Image covers 240 mm x 240 mm
FLAIR MR.
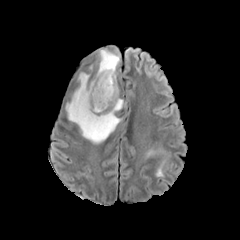
T1-weighted MR.
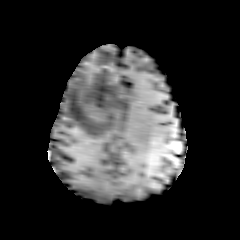
Post-contrast T1-weighted MR image.
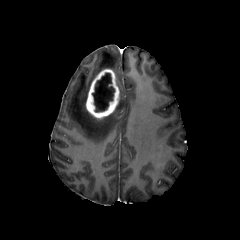
T2-weighted MR.
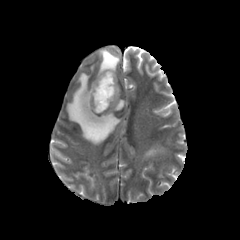
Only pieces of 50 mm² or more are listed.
{"peritumoral_edema": [{"x1": 97, "y1": 48, "x2": 119, "y2": 81}, {"x1": 67, "y1": 73, "x2": 124, "y2": 143}, {"x1": 146, "y1": 149, "x2": 162, "y2": 156}], "necrotic_tumor_core": [{"x1": 92, "y1": 73, "x2": 114, "y2": 111}], "enhancing_tumor": [{"x1": 86, "y1": 68, "x2": 119, "y2": 118}]}